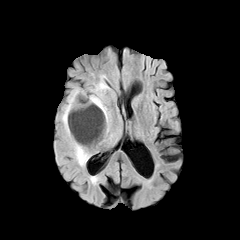
FLAIR MR.
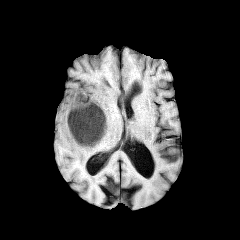
T1-weighted MRI.
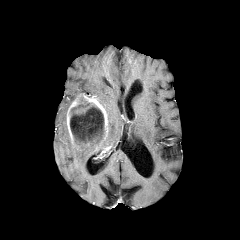
Post-contrast T1-weighted MRI.
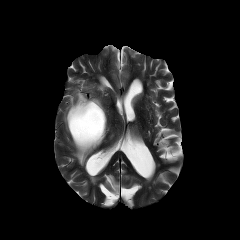
T2-weighted MRI.
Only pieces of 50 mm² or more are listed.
enhancing tumor at (left=67, top=94, right=108, bottom=143)
peritumoral edema at (left=62, top=88, right=106, bottom=165), (left=92, top=81, right=109, bottom=132)
necrotic tumor core at (left=70, top=103, right=104, bottom=147)